FLAIR MR.
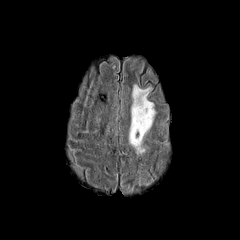
T1-weighted MR image.
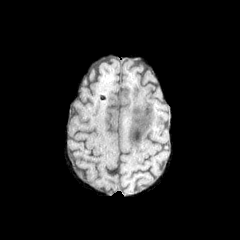
Post-contrast T1-weighted magnetic resonance.
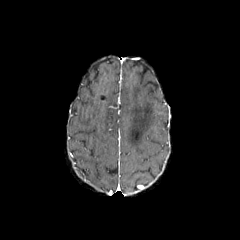
T2-weighted MR.
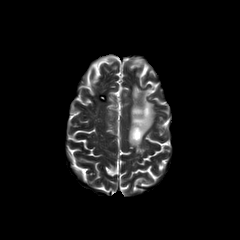
Image size 240x240; Head
<segmentation>
  <peritumoral_edema>x1=129, y1=85, x2=155, y2=153</peritumoral_edema>
</segmentation>